Brain.
FLAIR MR image.
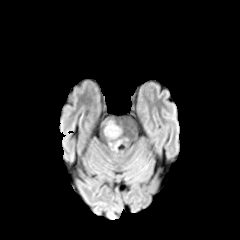
T1-weighted magnetic resonance.
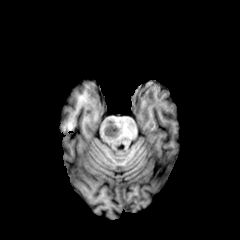
Post-contrast T1-weighted MR image.
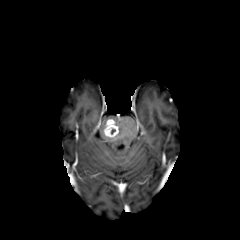
T2-weighted magnetic resonance.
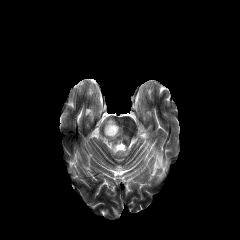
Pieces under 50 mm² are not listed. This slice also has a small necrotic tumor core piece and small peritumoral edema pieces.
enhancing_tumor:
  - x1=104, y1=119, x2=118, y2=138